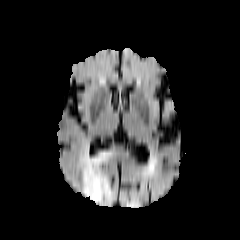
FLAIR MR image.
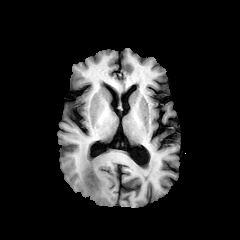
T1-weighted magnetic resonance.
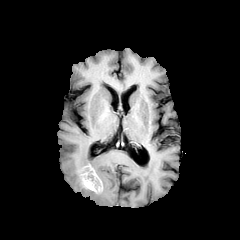
Post-contrast T1-weighted MR.
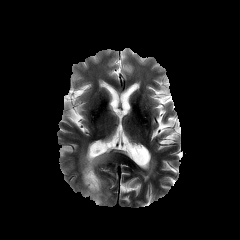
T2-weighted magnetic resonance.
240x240 px; Axial view; Head
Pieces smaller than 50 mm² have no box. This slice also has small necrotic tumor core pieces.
The enhancing tumor lies within rect(82, 164, 102, 193). The peritumoral edema lies within rect(80, 149, 113, 205).